Slice 55/155 | Brain | Image width 240 mm | Axial plane | 240x240
FLAIR MRI.
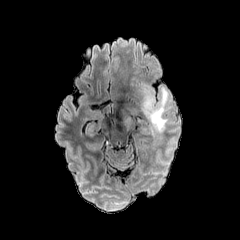
T1-weighted MR.
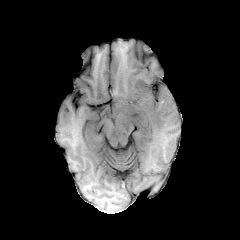
Post-contrast T1-weighted MRI.
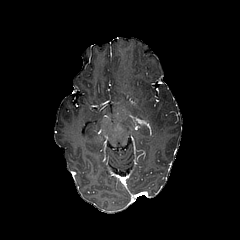
T2-weighted MRI.
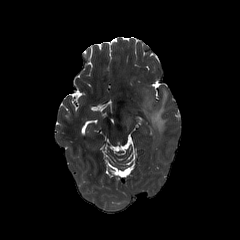
* peritumoral edema: {"x1": 122, "y1": 112, "x2": 131, "y2": 128}, {"x1": 143, "y1": 88, "x2": 171, "y2": 133}